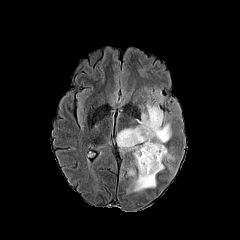
FLAIR MR image.
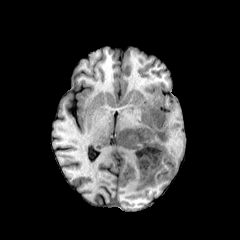
T1-weighted MR.
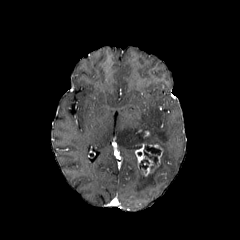
Same slice, post-contrast T1-weighted MR.
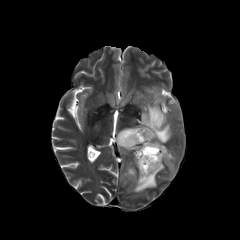
T2-weighted MR image of the same slice.
Axial slice | Head | Image size 240x240
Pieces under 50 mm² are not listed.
The largest necrotic tumor core region is at <box>146,147,160,155</box>. The 2 largest peritumoral edema regions are bounded by <box>125,167,135,177</box>, <box>117,103,174,193</box>. The largest enhancing tumor region appears at <box>135,144,163,176</box>.